FLAIR MR.
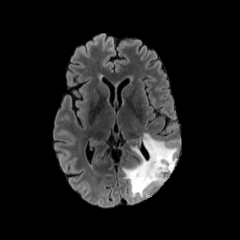
T1-weighted MR.
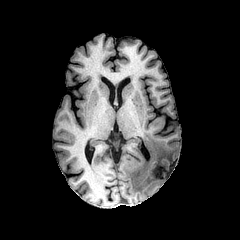
Post-contrast T1-weighted MR.
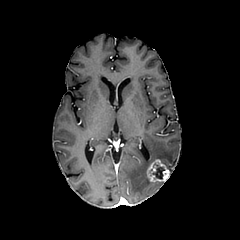
T2-weighted MR.
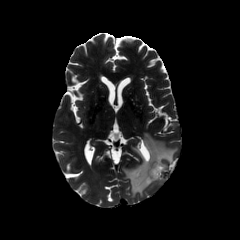
Brain.
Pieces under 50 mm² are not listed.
necrotic tumor core: bounding box [153, 165, 164, 179]
peritumoral edema: bounding box [123, 133, 177, 197]
enhancing tumor: bounding box [146, 159, 173, 182]